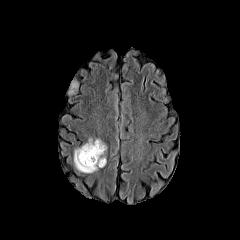
FLAIR MRI.
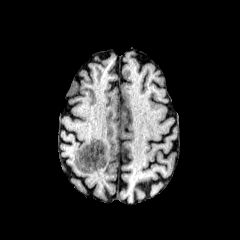
T1-weighted MR image of the same slice.
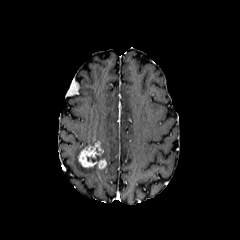
Post-contrast T1-weighted MR image.
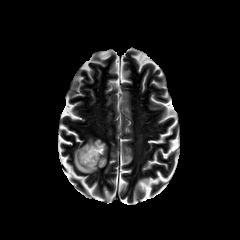
T2-weighted magnetic resonance.
Head. Axial slice.
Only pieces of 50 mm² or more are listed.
peritumoral edema: l=74, t=138, r=108, b=173 | necrotic tumor core: l=87, t=155, r=100, b=162 | enhancing tumor: l=78, t=141, r=106, b=168